FLAIR magnetic resonance.
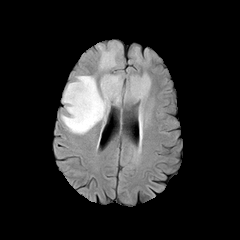
T1-weighted MRI.
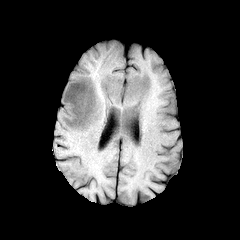
Post-contrast T1-weighted magnetic resonance.
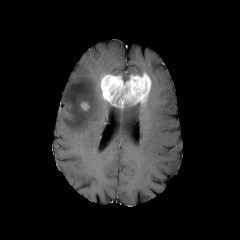
T2-weighted MR.
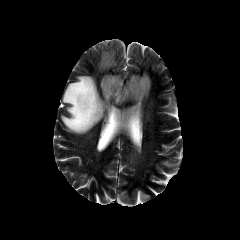
240x240 px
{"peritumoral_edema": ["139 103 144 125", "61 75 110 134", "99 43 120 70"], "enhancing_tumor": ["80 102 89 110", "100 72 151 106"]}